Slice 57/155. Head.
FLAIR MR.
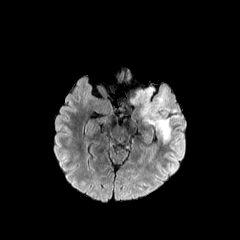
T1-weighted MRI.
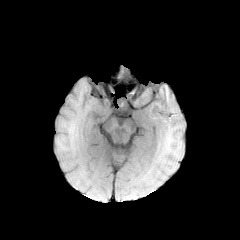
Post-contrast T1-weighted MRI.
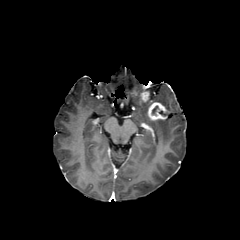
T2-weighted MR.
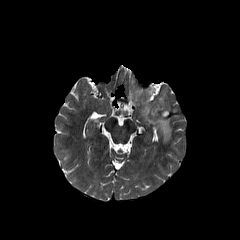
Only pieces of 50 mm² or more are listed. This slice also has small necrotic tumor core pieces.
<segmentation>
  <peritumoral_edema>bbox(132, 87, 178, 143)</peritumoral_edema>
  <enhancing_tumor>bbox(147, 101, 166, 120); bbox(141, 92, 149, 102)</enhancing_tumor>
</segmentation>